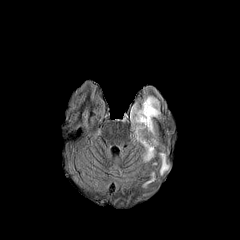
FLAIR MRI.
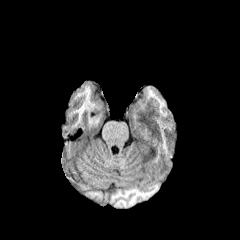
T1-weighted MR image of the same slice.
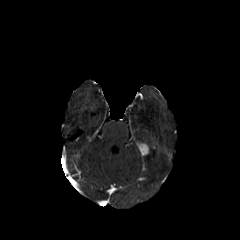
Same slice, post-contrast T1-weighted MR.
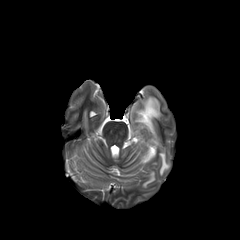
T2-weighted MRI.
Axial view.
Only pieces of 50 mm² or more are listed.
The 3 largest peritumoral edema regions appear at 131,96,160,162; 143,172,154,187; 159,152,169,175. The largest enhancing tumor region is located at 136,141,149,156.